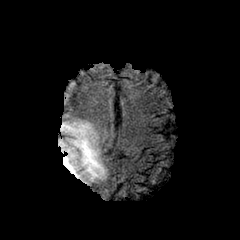
FLAIR MR.
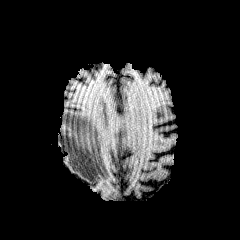
Same slice, T1-weighted magnetic resonance.
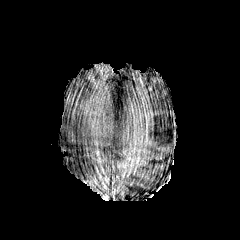
Post-contrast T1-weighted magnetic resonance.
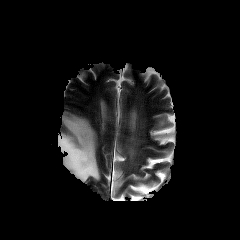
T2-weighted magnetic resonance.
Axial plane. Brain. Image size 240x240.
{
  "peritumoral_edema": [
    "bbox(58, 112, 106, 182)"
  ]
}